FLAIR magnetic resonance.
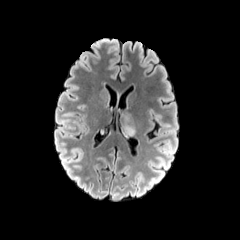
T1-weighted MR image.
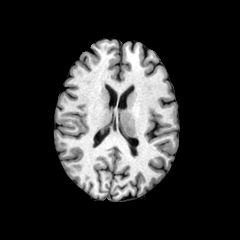
Post-contrast T1-weighted MRI.
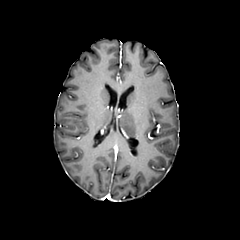
T2-weighted MR image.
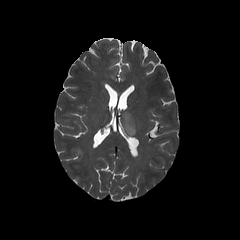
Brain
{"peritumoral_edema": ["box=[119, 111, 135, 135]"]}